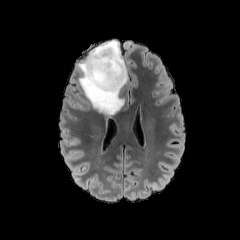
FLAIR magnetic resonance.
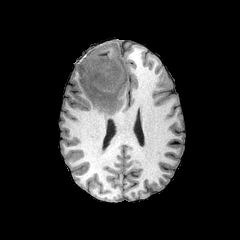
T1-weighted MRI.
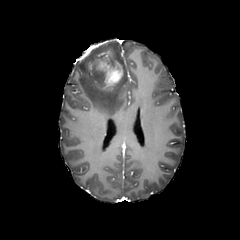
Post-contrast T1-weighted MR.
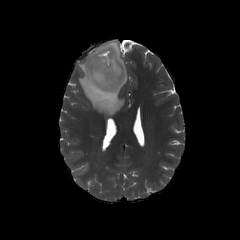
Same slice, T2-weighted MR image.
Brain; Axial view
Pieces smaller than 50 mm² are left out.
enhancing tumor = region(94, 60, 123, 88)
necrotic tumor core = region(91, 65, 104, 86)
peritumoral edema = region(78, 40, 127, 115)